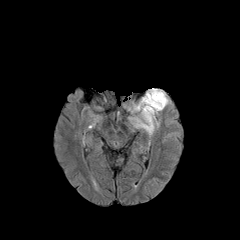
FLAIR MR.
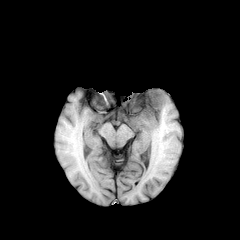
T1-weighted MR image.
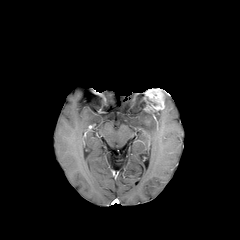
Post-contrast T1-weighted magnetic resonance.
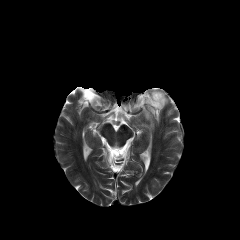
T2-weighted MR image of the same slice.
Axial plane
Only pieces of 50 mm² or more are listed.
peritumoral edema: bbox=[129, 99, 157, 135]
enhancing tumor: bbox=[142, 88, 164, 112]